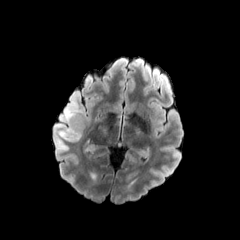
FLAIR MR.
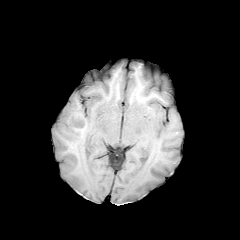
T1-weighted MR image of the same slice.
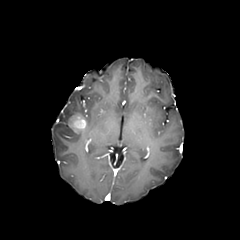
Post-contrast T1-weighted MR image.
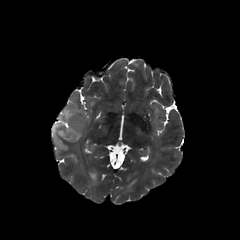
T2-weighted MR image of the same slice.
Axial view, Head
Findings:
- peritumoral edema: left=59, top=128, right=81, bottom=141; left=57, top=102, right=80, bottom=128
- enhancing tumor: left=68, top=113, right=86, bottom=133